FLAIR MR image.
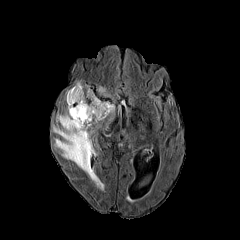
T1-weighted MR image.
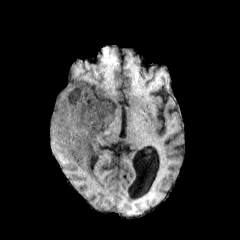
Post-contrast T1-weighted MR image.
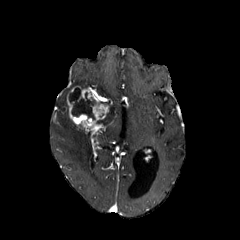
T2-weighted MR.
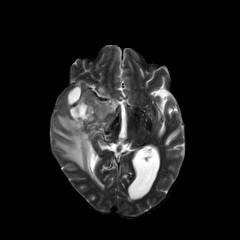
240x240 px, Brain, Axial view
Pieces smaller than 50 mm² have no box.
enhancing tumor — (x1=67, y1=86, x2=109, y2=132)
necrotic tumor core — (x1=69, y1=87, x2=95, y2=119)
peritumoral edema — (x1=107, y1=102, x2=114, y2=115), (x1=97, y1=86, x2=110, y2=96), (x1=52, y1=104, x2=99, y2=184)